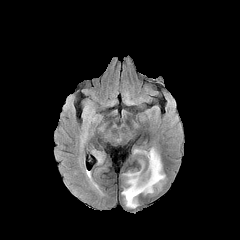
FLAIR MR.
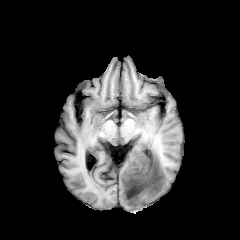
T1-weighted MR image.
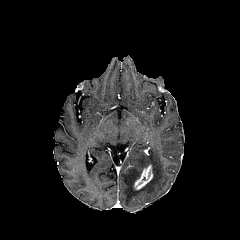
Same slice, post-contrast T1-weighted MRI.
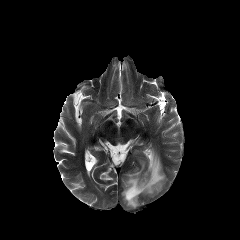
T2-weighted MR of the same slice.
Axial view
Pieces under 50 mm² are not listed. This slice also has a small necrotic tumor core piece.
peritumoral edema — box(122, 148, 165, 207)
enhancing tumor — box(133, 164, 153, 190)